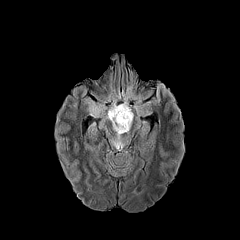
FLAIR MR.
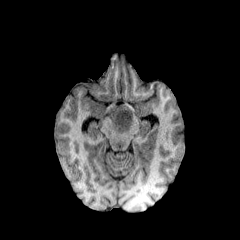
T1-weighted MRI.
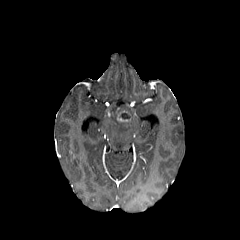
Post-contrast T1-weighted MR.
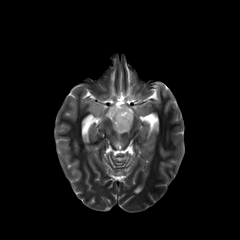
T2-weighted MR.
Head, Axial slice
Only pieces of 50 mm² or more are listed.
<segmentation>
  <enhancing_tumor>bbox(112, 107, 131, 126)</enhancing_tumor>
  <necrotic_tumor_core>bbox(120, 113, 130, 119)</necrotic_tumor_core>
  <peritumoral_edema>bbox(88, 102, 104, 115); bbox(106, 99, 133, 149)</peritumoral_edema>
</segmentation>